FLAIR MR.
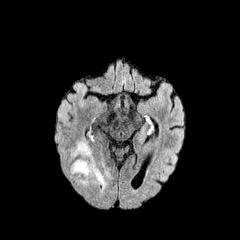
T1-weighted magnetic resonance.
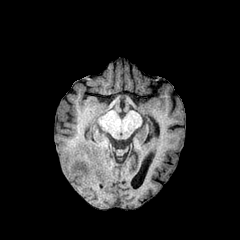
Post-contrast T1-weighted magnetic resonance.
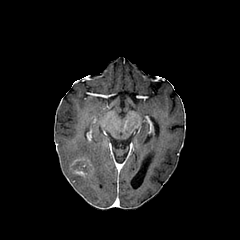
T2-weighted MR.
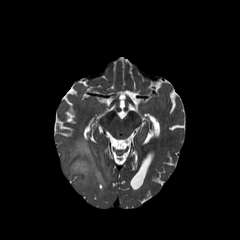
Brain
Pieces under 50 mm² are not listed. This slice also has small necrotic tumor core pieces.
The largest peritumoral edema region is located at (69,139,109,193). The enhancing tumor is located at (71,158,91,176).